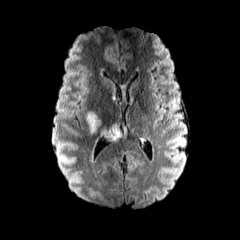
FLAIR MR.
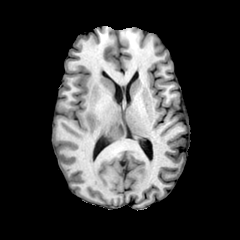
T1-weighted magnetic resonance.
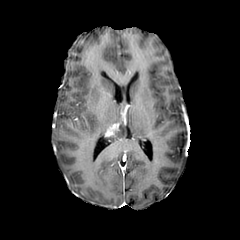
Post-contrast T1-weighted MRI.
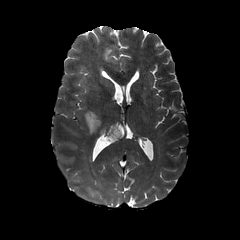
Same slice, T2-weighted MRI.
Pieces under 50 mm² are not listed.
peritumoral_edema:
  - x1=85, y1=110, x2=101, y2=134
  - x1=99, y1=119, x2=127, y2=142
enhancing_tumor:
  - x1=104, y1=123, x2=118, y2=138